Axial slice
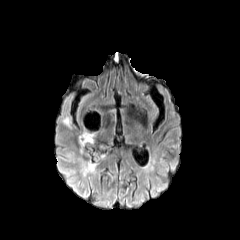
FLAIR MRI.
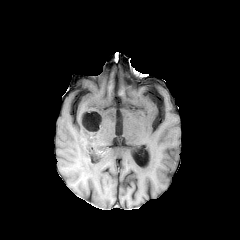
Same slice, T1-weighted MR.
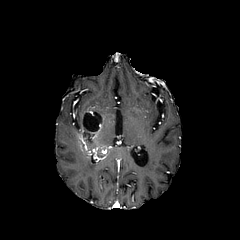
Same slice, post-contrast T1-weighted MRI.
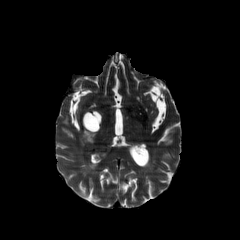
T2-weighted MR image of the same slice.
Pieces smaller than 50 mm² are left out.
The enhancing tumor appears at 77:108:107:158. The largest peritumoral edema region is located at 78:157:98:176. 2 necrotic tumor core regions are located at 83:111:102:131, 83:131:93:143.